FLAIR MR image.
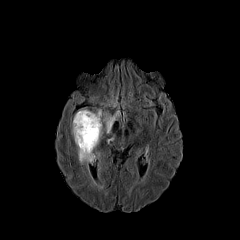
T1-weighted MR.
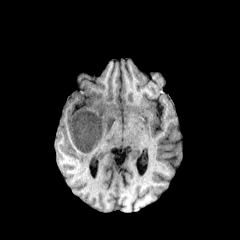
Post-contrast T1-weighted magnetic resonance.
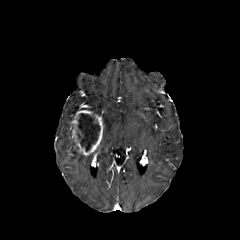
T2-weighted MR image.
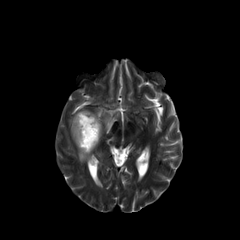
Image size 240x240.
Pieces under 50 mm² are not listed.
enhancing tumor: (x1=70, y1=110, x2=103, y2=155) | peritumoral edema: (x1=102, y1=116, x2=115, y2=133), (x1=78, y1=151, x2=93, y2=163) | necrotic tumor core: (x1=77, y1=113, x2=100, y2=151)